FLAIR MRI.
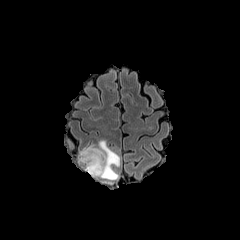
T1-weighted MR.
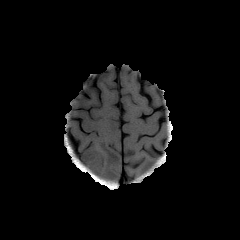
Post-contrast T1-weighted MRI.
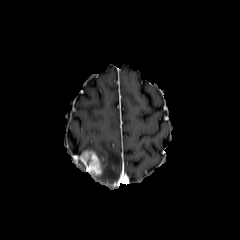
T2-weighted MR.
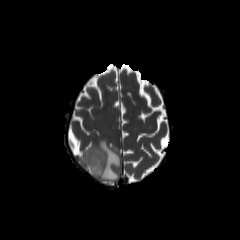
Brain; Axial view
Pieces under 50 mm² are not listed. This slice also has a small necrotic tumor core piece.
The largest peritumoral edema region is bounded by bbox(78, 139, 120, 183). The enhancing tumor is located at bbox(80, 150, 102, 175).